FLAIR magnetic resonance.
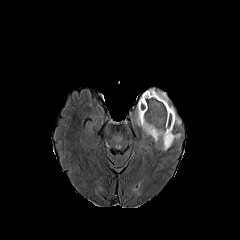
T1-weighted MR image.
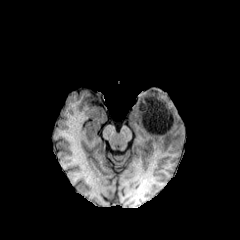
Post-contrast T1-weighted MR image.
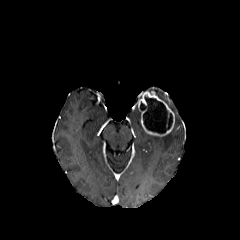
T2-weighted magnetic resonance.
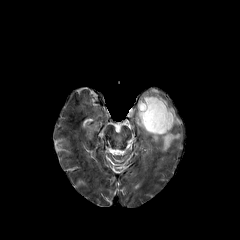
Brain
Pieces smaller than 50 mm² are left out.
peritumoral edema: <bbox>156, 91, 168, 105</bbox>, <bbox>169, 106, 181, 124</bbox>, <bbox>152, 132, 181, 150</bbox>, <bbox>136, 109, 140, 125</bbox>
necrotic tumor core: <bbox>140, 96, 172, 133</bbox>
enhancing tumor: <bbox>138, 91, 174, 136</bbox>